FLAIR MR image.
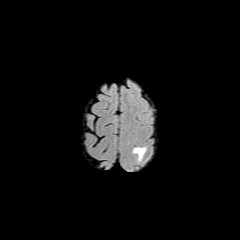
T1-weighted MR.
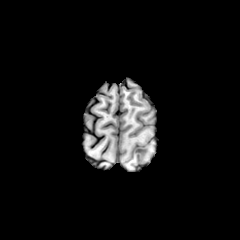
Post-contrast T1-weighted MRI.
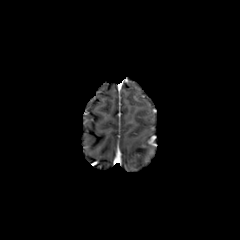
T2-weighted MRI.
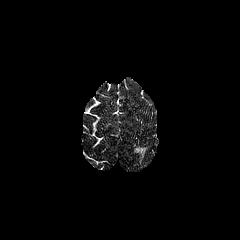
Brain
Findings:
- peritumoral edema: [133, 147, 145, 160]